Slice 77 of 155, Head
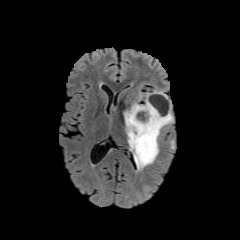
FLAIR MR.
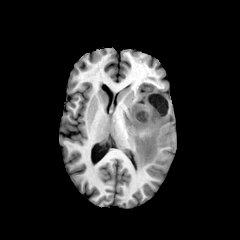
T1-weighted magnetic resonance.
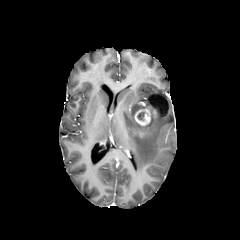
Same slice, post-contrast T1-weighted MRI.
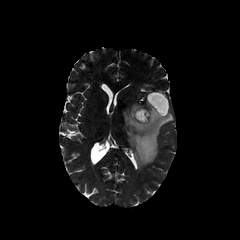
Same slice, T2-weighted MRI.
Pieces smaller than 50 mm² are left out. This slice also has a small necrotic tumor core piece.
The largest peritumoral edema region lies within <bbox>123, 91, 173, 169</bbox>. The largest enhancing tumor region is bounded by <bbox>134, 109, 150, 125</bbox>.